Head. Slice 77/155.
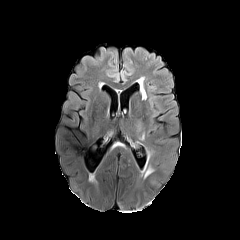
FLAIR MR image.
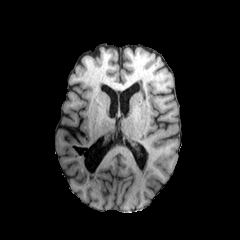
T1-weighted MR image.
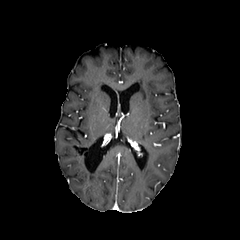
Post-contrast T1-weighted MR.
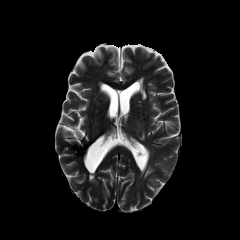
T2-weighted MR of the same slice.
{
  "peritumoral_edema": [
    "<box>144,166,153,178</box>"
  ]
}